Slice index 95
FLAIR MRI.
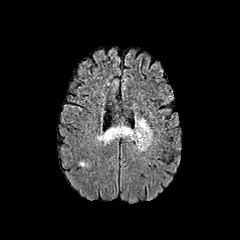
T1-weighted MR image.
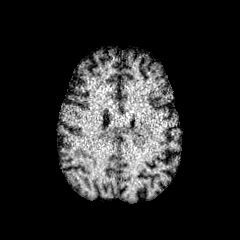
Post-contrast T1-weighted MRI.
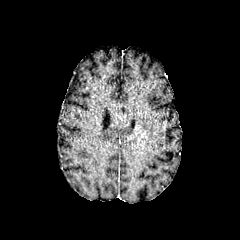
T2-weighted MR.
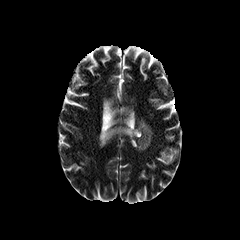
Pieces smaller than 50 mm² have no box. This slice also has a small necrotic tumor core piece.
The enhancing tumor lies within [131,126,147,146]. 2 peritumoral edema regions are located at [97,125,133,143], [131,118,152,151].